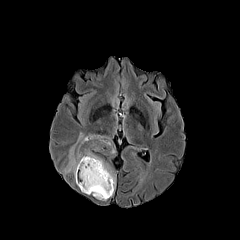
FLAIR MRI.
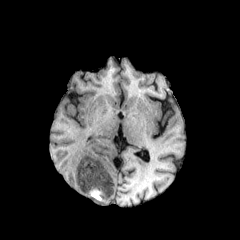
T1-weighted MRI.
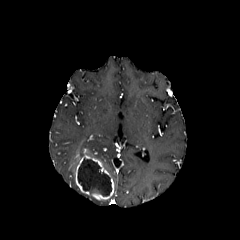
Same slice, post-contrast T1-weighted magnetic resonance.
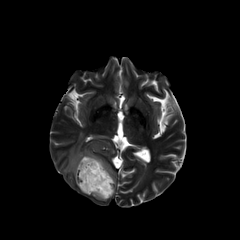
T2-weighted magnetic resonance.
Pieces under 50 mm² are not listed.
peritumoral edema at <box>83,147,117,186</box>, <box>63,131,115,174</box>
necrotic tumor core at <box>77,158,111,196</box>
enhancing tumor at <box>75,155,114,199</box>